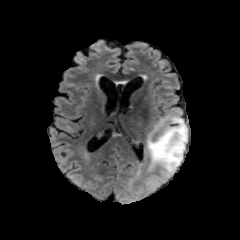
FLAIR MR.
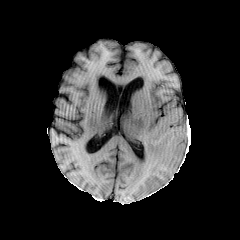
T1-weighted MR.
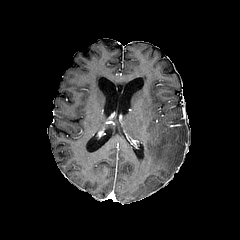
Post-contrast T1-weighted magnetic resonance.
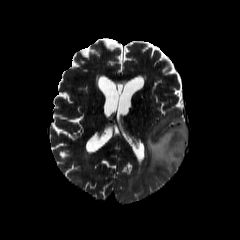
T2-weighted magnetic resonance of the same slice.
Head
Annotated regions:
- peritumoral edema: (146,115,187,174)